FLAIR MR image.
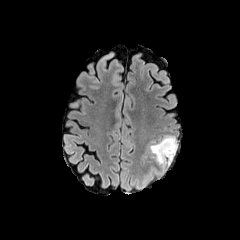
T1-weighted magnetic resonance.
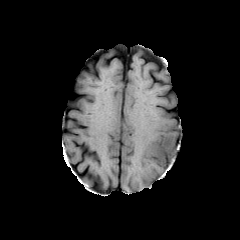
Post-contrast T1-weighted MR.
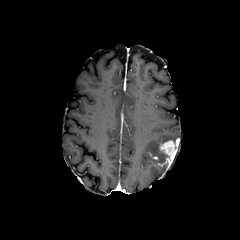
T2-weighted MR image.
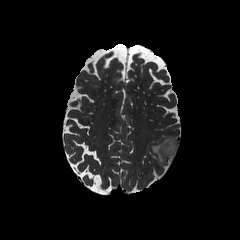
Axial slice
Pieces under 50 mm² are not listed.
The largest peritumoral edema region lies within 149,135,176,163. The enhancing tumor appears at 159,140,177,167.